FLAIR MR.
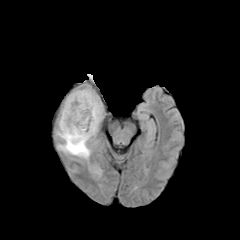
T1-weighted MR.
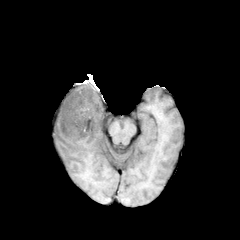
Post-contrast T1-weighted MRI.
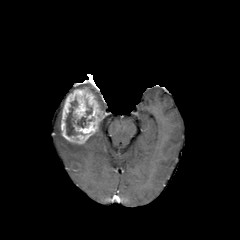
T2-weighted magnetic resonance.
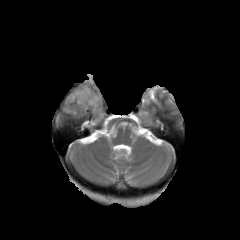
Axial view
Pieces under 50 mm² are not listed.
<segmentation>
  <enhancing_tumor>(x1=61, y1=87, x2=104, y2=144)</enhancing_tumor>
  <necrotic_tumor_core>(x1=77, y1=117, x2=86, y2=127), (x1=66, y1=107, x2=77, y2=136)</necrotic_tumor_core>
  <peritumoral_edema>(x1=84, y1=85, x2=102, y2=110), (x1=62, y1=130, x2=98, y2=159)</peritumoral_edema>
</segmentation>